FLAIR MR.
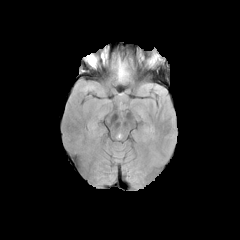
T1-weighted magnetic resonance.
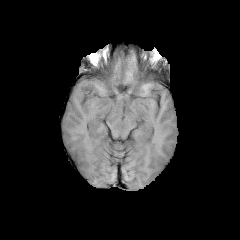
Post-contrast T1-weighted MR.
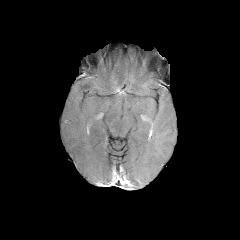
T2-weighted MR.
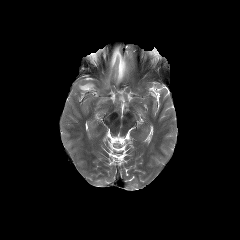
peritumoral edema = (83,84,94,89), (111,54,128,82)